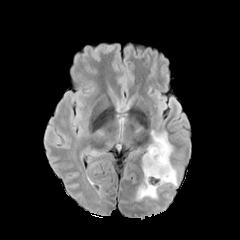
FLAIR MR.
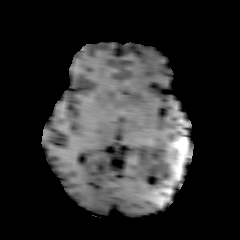
Same slice, T1-weighted MR.
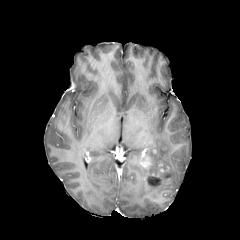
Same slice, post-contrast T1-weighted MRI.
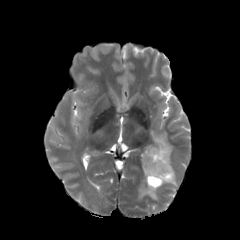
T2-weighted MRI.
Axial plane
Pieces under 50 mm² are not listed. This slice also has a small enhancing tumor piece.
peritumoral edema: bounding box <bbox>135, 130, 177, 201</bbox>